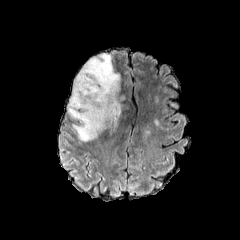
FLAIR MR.
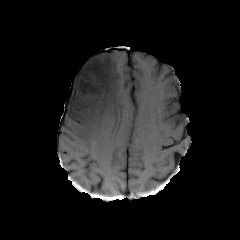
T1-weighted MRI of the same slice.
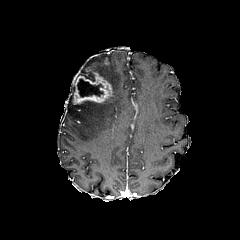
Same slice, post-contrast T1-weighted magnetic resonance.
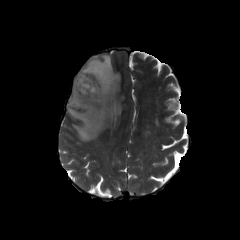
T2-weighted MR image of the same slice.
Head
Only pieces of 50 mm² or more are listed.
The largest enhancing tumor region is located at 72, 67, 113, 104. The necrotic tumor core appears at 77, 78, 103, 97. The peritumoral edema is bounded by 67, 53, 124, 141.